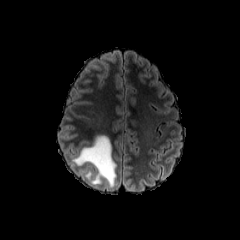
FLAIR MR image.
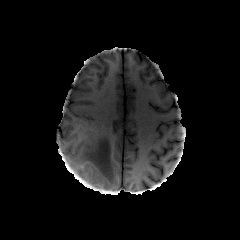
T1-weighted MRI.
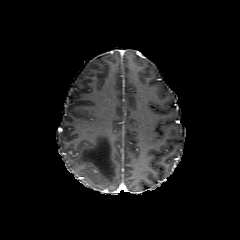
Post-contrast T1-weighted MRI.
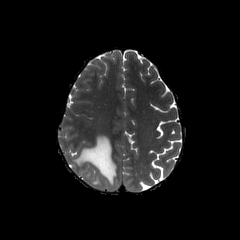
T2-weighted MRI of the same slice.
240x240 px, Axial view
The peritumoral edema appears at 73 135 116 187.